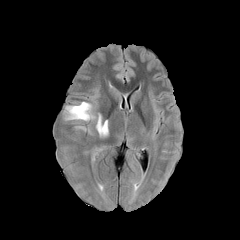
FLAIR MR.
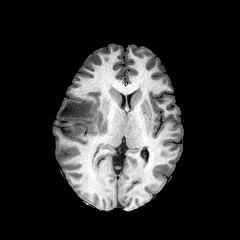
Same slice, T1-weighted MR image.
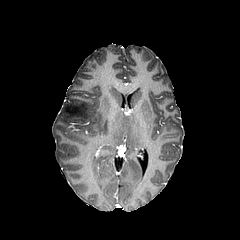
Post-contrast T1-weighted magnetic resonance of the same slice.
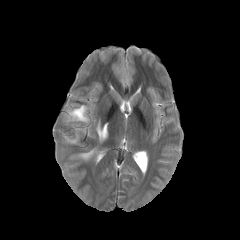
T2-weighted MR image of the same slice.
Head, Image size 240x240
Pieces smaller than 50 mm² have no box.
The 2 largest peritumoral edema regions appear at 65, 102, 94, 121; 96, 115, 108, 137.